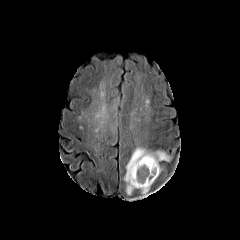
FLAIR MRI.
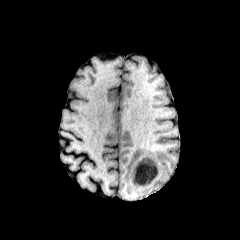
Same slice, T1-weighted MR.
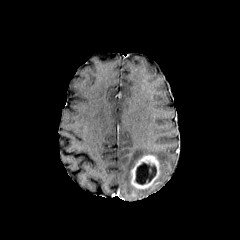
Post-contrast T1-weighted MR image.
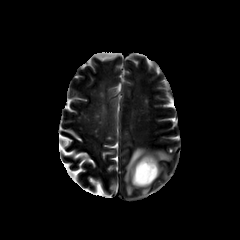
T2-weighted MR image.
Head
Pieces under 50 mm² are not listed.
{"enhancing_tumor": ["box(130, 154, 159, 188)"], "peritumoral_edema": ["box(124, 147, 170, 194)", "box(140, 187, 150, 196)"], "necrotic_tumor_core": ["box(135, 163, 156, 184)"]}